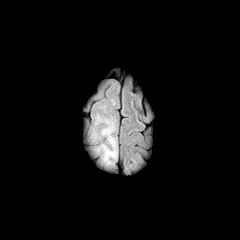
FLAIR MR.
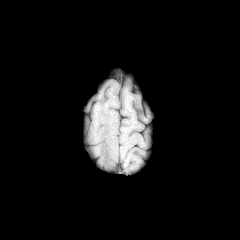
T1-weighted MR image.
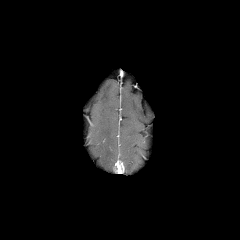
Post-contrast T1-weighted MR image.
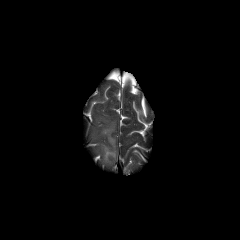
T2-weighted MR image.
Axial view
{
  "peritumoral_edema": [
    "(left=93, top=116, right=117, bottom=164)"
  ]
}